Axial slice, Slice index 110
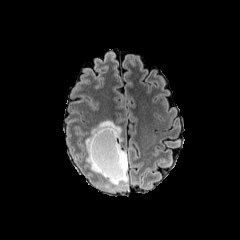
FLAIR MR.
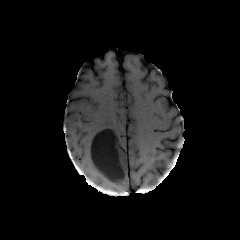
Same slice, T1-weighted MR.
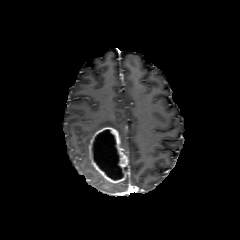
Post-contrast T1-weighted MRI.
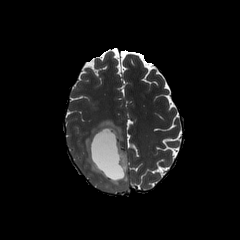
T2-weighted MRI.
The necrotic tumor core is at [92,129,123,180]. The enhancing tumor is at [89,127,128,183]. The peritumoral edema is bounded by [85,120,127,184].